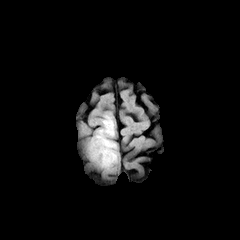
FLAIR MRI.
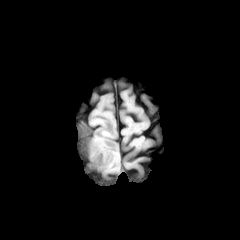
T1-weighted MR.
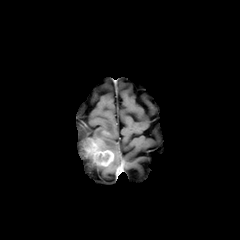
Post-contrast T1-weighted magnetic resonance.
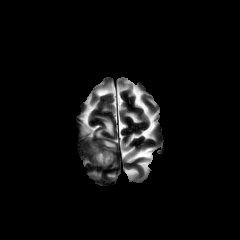
T2-weighted MR.
Head
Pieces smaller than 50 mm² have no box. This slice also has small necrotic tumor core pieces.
The enhancing tumor appears at box(85, 139, 113, 166). The largest peritumoral edema region appears at box(95, 116, 116, 164).